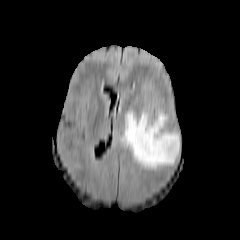
FLAIR MR image.
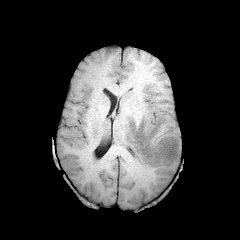
T1-weighted MR.
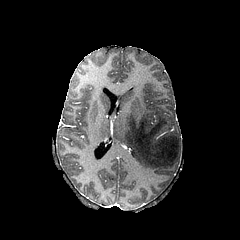
Post-contrast T1-weighted MR of the same slice.
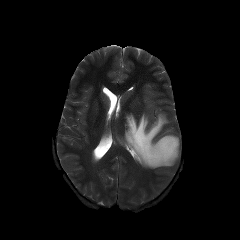
T2-weighted MR image.
Head
peritumoral_edema:
  - 120,110,179,168